FLAIR magnetic resonance.
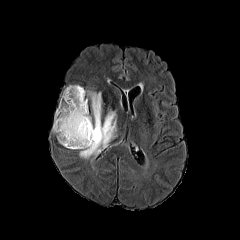
T1-weighted MR.
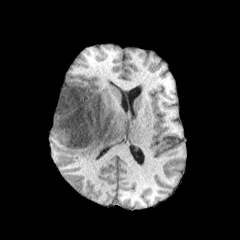
Post-contrast T1-weighted MR.
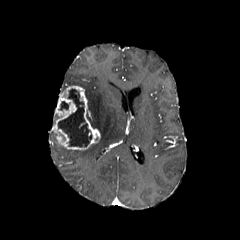
T2-weighted MRI.
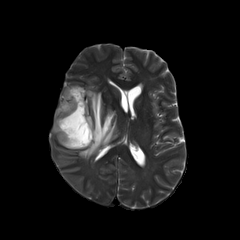
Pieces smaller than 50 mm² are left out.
<segmentation>
  <necrotic_tumor_core>[60, 101, 68, 110], [58, 89, 91, 146]</necrotic_tumor_core>
  <enhancing_tumor>[51, 85, 100, 150]</enhancing_tumor>
  <peritumoral_edema>[79, 90, 116, 159]</peritumoral_edema>
</segmentation>